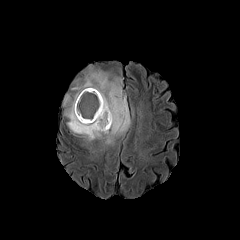
FLAIR magnetic resonance.
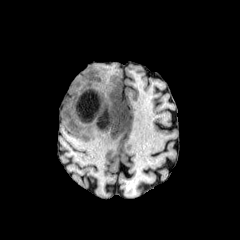
T1-weighted MR.
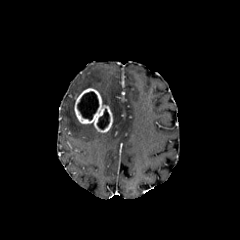
Post-contrast T1-weighted MR image.
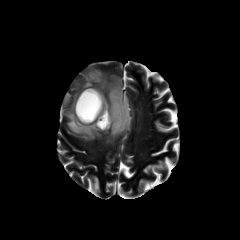
Same slice, T2-weighted MR.
Brain | Image size 240x240
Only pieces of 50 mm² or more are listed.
The enhancing tumor lies within (x1=74, y1=88, x2=113, y2=132). The largest peritumoral edema region is at (x1=63, y1=66, x2=131, y2=144). 2 necrotic tumor core regions are bounded by (x1=97, y1=109, x2=109, y2=129), (x1=77, y1=91, x2=98, y2=120).